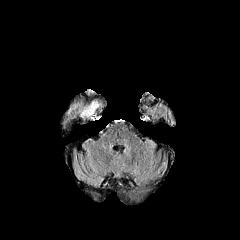
FLAIR MR image.
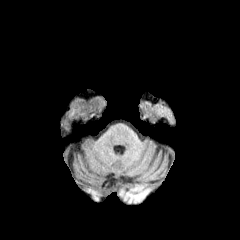
Same slice, T1-weighted MRI.
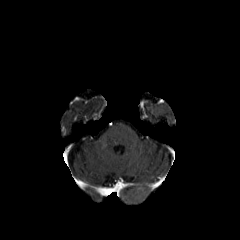
Post-contrast T1-weighted magnetic resonance.
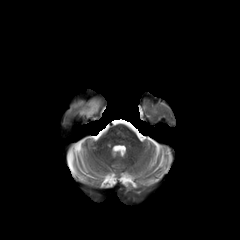
T2-weighted MR of the same slice.
Axial plane
peritumoral_edema:
  - bbox(79, 98, 101, 118)